Slice 122/155, Head
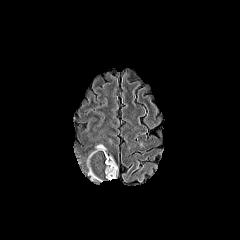
FLAIR MR image.
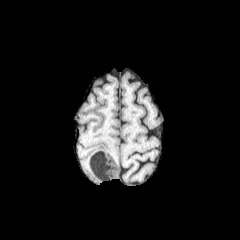
T1-weighted MR image.
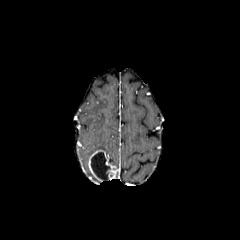
Post-contrast T1-weighted MRI.
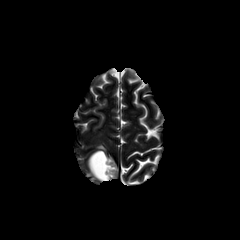
T2-weighted MR image.
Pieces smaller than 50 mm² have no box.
necrotic tumor core = [x1=91, y1=152, x2=109, y2=180]
enhancing tumor = [x1=87, y1=150, x2=117, y2=181]
peritumoral edema = [x1=95, y1=145, x2=106, y2=151]